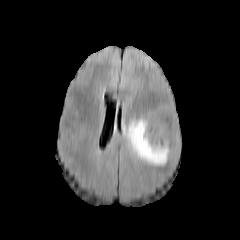
FLAIR magnetic resonance.
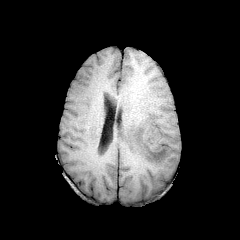
T1-weighted magnetic resonance.
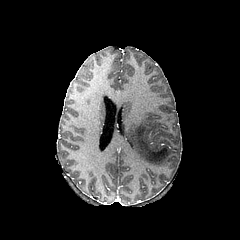
Same slice, post-contrast T1-weighted MRI.
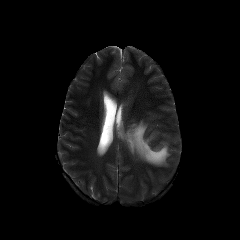
Same slice, T2-weighted MR.
Brain; Axial plane
peritumoral edema at [123,119,169,165]